Slice index 74
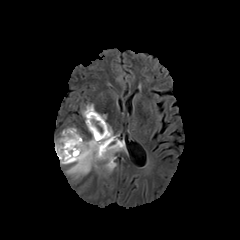
FLAIR MR.
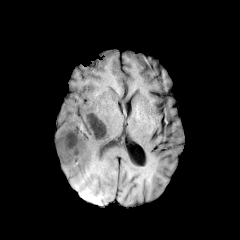
T1-weighted magnetic resonance of the same slice.
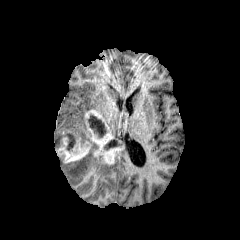
Same slice, post-contrast T1-weighted MR image.
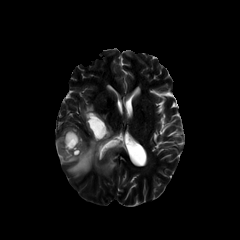
Same slice, T2-weighted MRI.
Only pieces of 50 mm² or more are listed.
Annotated regions:
- necrotic tumor core: (x1=88, y1=114, x2=106, y2=138), (x1=105, y1=138, x2=118, y2=149), (x1=66, y1=142, x2=75, y2=151)
- peritumoral edema: (x1=81, y1=104, x2=94, y2=117), (x1=59, y1=139, x2=116, y2=178), (x1=63, y1=127, x2=85, y2=142)
- enhancing tumor: (x1=85, y1=109, x2=122, y2=164), (x1=56, y1=130, x2=91, y2=163)